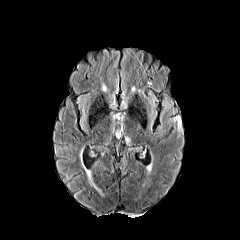
FLAIR magnetic resonance.
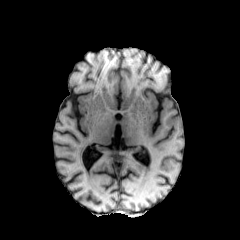
T1-weighted MR image.
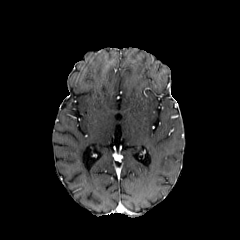
Post-contrast T1-weighted MR image.
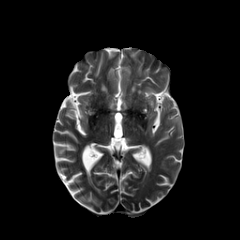
Same slice, T2-weighted MR.
Head, 240x240 px, Axial view
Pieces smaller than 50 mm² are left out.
peritumoral edema — (169, 117, 182, 132)